FLAIR MR image.
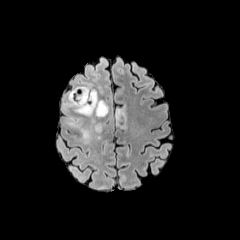
T1-weighted magnetic resonance.
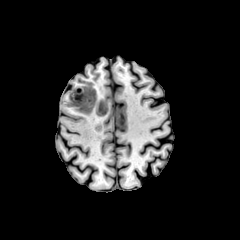
Post-contrast T1-weighted MR.
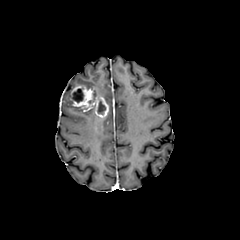
T2-weighted MR.
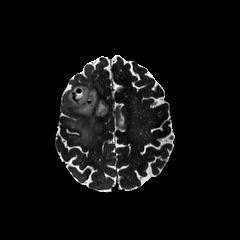
Image size 240x240, Head, Axial view
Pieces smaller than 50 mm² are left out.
{"peritumoral_edema": ["[68, 118, 102, 143]", "[64, 91, 94, 116]"], "enhancing_tumor": ["[70, 86, 108, 117]"], "necrotic_tumor_core": ["[97, 100, 105, 114]", "[72, 88, 83, 102]"]}